FLAIR MRI.
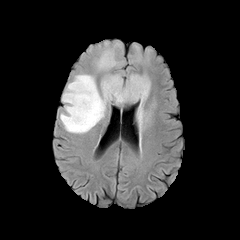
T1-weighted MR image.
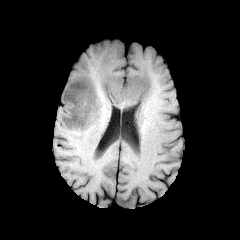
Post-contrast T1-weighted MR image.
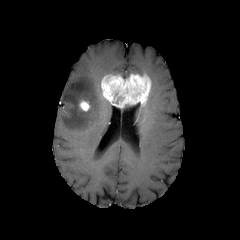
T2-weighted MR.
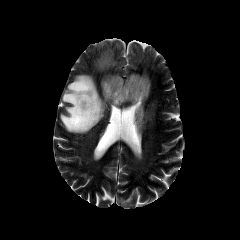
Head. Axial slice.
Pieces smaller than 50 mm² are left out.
The 3 largest peritumoral edema regions are located at box(95, 48, 118, 70); box(137, 104, 149, 127); box(60, 73, 110, 133). 2 enhancing tumor regions appear at box(78, 99, 90, 111); box(101, 73, 151, 107).